Head, Axial slice, Image width 240 mm, 1.00 mm slice spacing
FLAIR magnetic resonance.
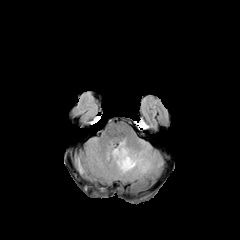
T1-weighted MRI.
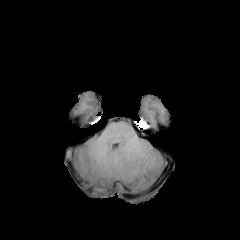
Post-contrast T1-weighted magnetic resonance.
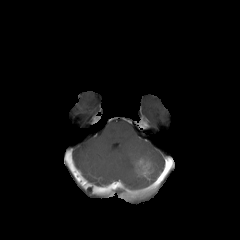
T2-weighted magnetic resonance.
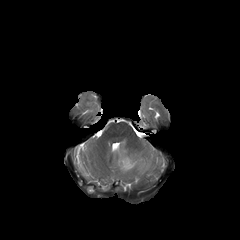
{
  "enhancing_tumor": [
    "l=134, t=157, r=153, b=176"
  ],
  "peritumoral_edema": [
    "l=111, t=139, r=162, b=179"
  ]
}